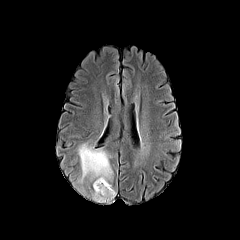
FLAIR MR image.
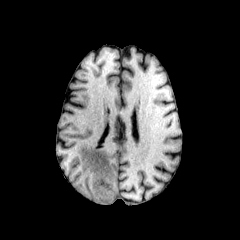
T1-weighted MR image of the same slice.
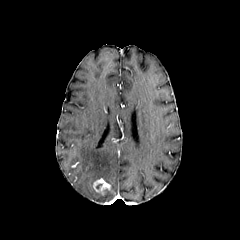
Post-contrast T1-weighted MR image.
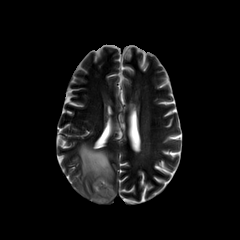
Same slice, T2-weighted MR image.
Image size 240x240
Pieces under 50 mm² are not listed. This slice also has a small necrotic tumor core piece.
enhancing tumor at rect(93, 178, 111, 195)
peritumoral edema at rect(78, 143, 115, 202)